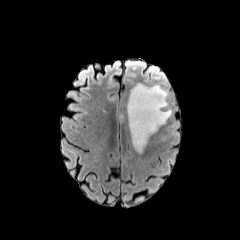
FLAIR magnetic resonance.
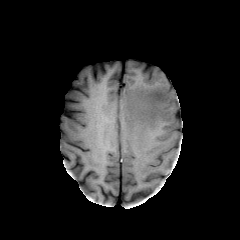
T1-weighted MR.
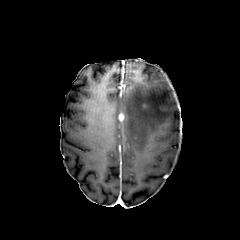
Post-contrast T1-weighted MR of the same slice.
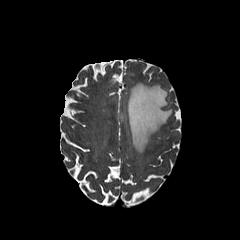
T2-weighted MRI.
Image size 240x240
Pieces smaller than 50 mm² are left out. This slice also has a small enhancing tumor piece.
peritumoral edema — bbox(127, 83, 172, 153)